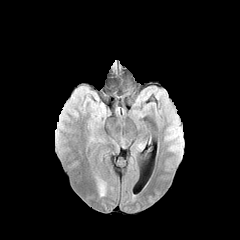
FLAIR magnetic resonance.
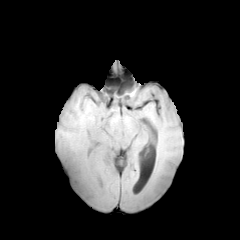
T1-weighted MR of the same slice.
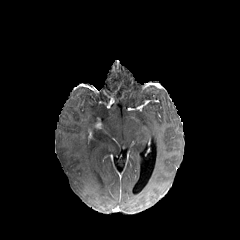
Same slice, post-contrast T1-weighted MRI.
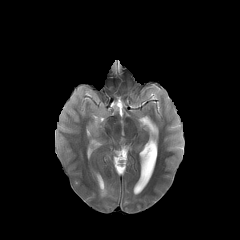
T2-weighted MRI of the same slice.
Head | Axial slice | 240x240 px
Segmented structures:
• peritumoral edema: 97,178,105,196